Image covers 240 mm x 240 mm | Image size 240x240 | Brain
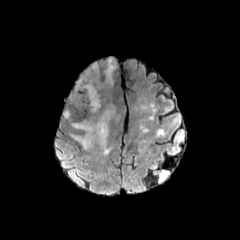
FLAIR MR image.
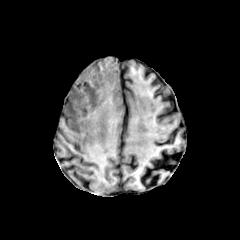
T1-weighted MRI of the same slice.
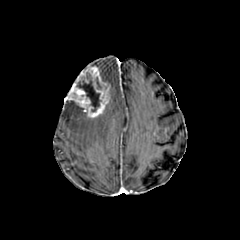
Post-contrast T1-weighted MRI of the same slice.
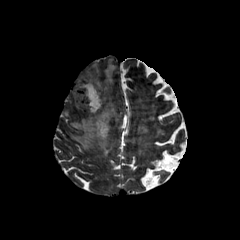
T2-weighted MR image.
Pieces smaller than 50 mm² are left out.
The enhancing tumor appears at l=67, t=65, r=110, b=118. The 2 largest peritumoral edema regions appear at l=104, t=58, r=115, b=85; l=71, t=108, r=113, b=154. The largest necrotic tumor core region is located at l=77, t=73, r=100, b=111.